240x240 px
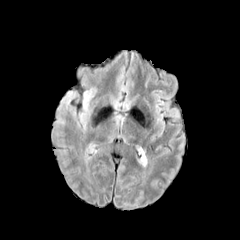
FLAIR MR.
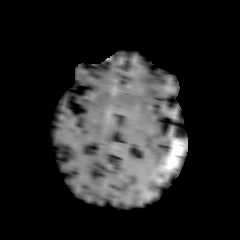
Same slice, T1-weighted MR image.
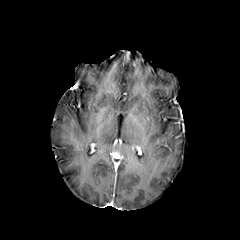
Post-contrast T1-weighted MR image of the same slice.
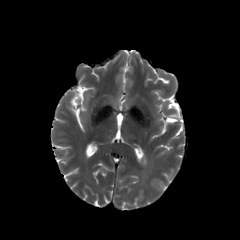
T2-weighted MRI.
peritumoral edema = left=139, top=150, right=147, bottom=166